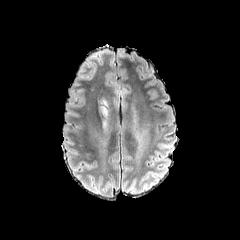
FLAIR MR image.
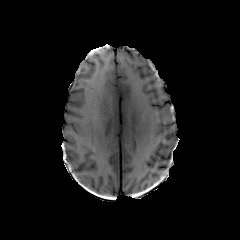
T1-weighted MRI.
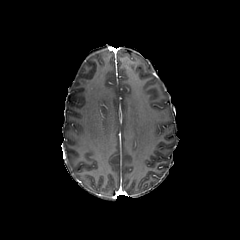
Same slice, post-contrast T1-weighted MRI.
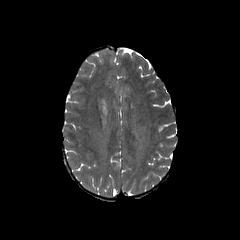
Same slice, T2-weighted magnetic resonance.
Axial view; 240x240 px
Annotated regions:
* peritumoral edema: <bbox>100, 98, 108, 116</bbox>